FLAIR MR image.
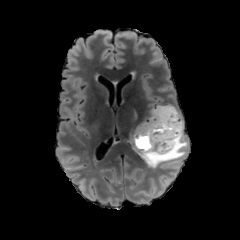
T1-weighted MRI.
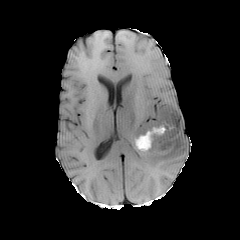
Post-contrast T1-weighted MRI.
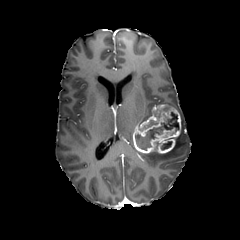
T2-weighted MR image.
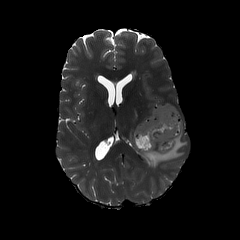
Brain.
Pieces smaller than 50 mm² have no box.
The largest peritumoral edema region is located at <box>137,116,188,168</box>. The 2 largest necrotic tumor core regions are located at <box>136,112,178,150</box>, <box>161,141,171,149</box>. The enhancing tumor lies within <box>132,104,181,154</box>.